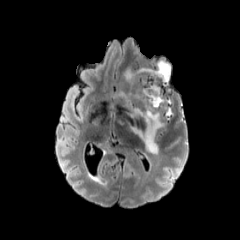
FLAIR magnetic resonance.
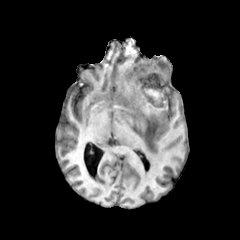
T1-weighted magnetic resonance.
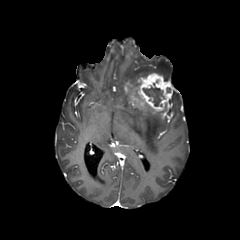
Same slice, post-contrast T1-weighted MR image.
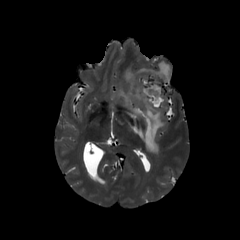
Same slice, T2-weighted magnetic resonance.
Head
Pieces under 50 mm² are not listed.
peritumoral edema — l=119, t=60, r=171, b=154
enhancing tumor — l=136, t=73, r=173, b=111
necrotic tumor core — l=143, t=86, r=164, b=106